Axial slice | Image width 240 mm | Slice 91 of 155
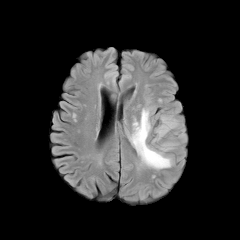
FLAIR magnetic resonance.
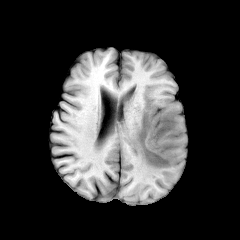
T1-weighted MR image of the same slice.
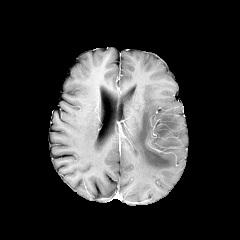
Post-contrast T1-weighted magnetic resonance.
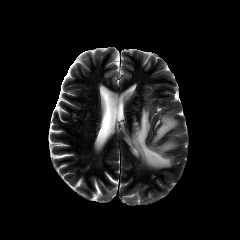
Same slice, T2-weighted magnetic resonance.
peritumoral edema = {"x1": 129, "y1": 108, "x2": 176, "y2": 169}, {"x1": 153, "y1": 115, "x2": 177, "y2": 142}